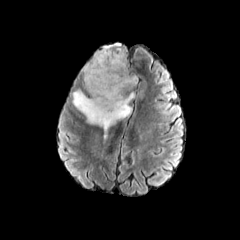
FLAIR magnetic resonance.
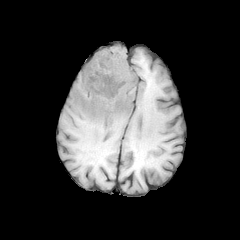
T1-weighted MR of the same slice.
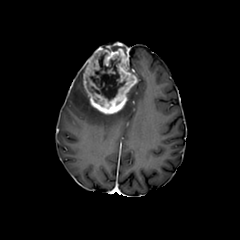
Post-contrast T1-weighted MR image.
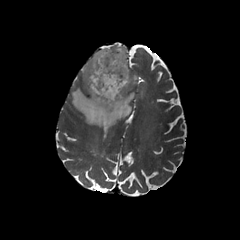
T2-weighted magnetic resonance of the same slice.
Axial plane
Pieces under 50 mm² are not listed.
enhancing tumor: bounding box (83, 42, 137, 114)
necrotic tumor core: bounding box (94, 95, 105, 105), (85, 53, 132, 100)
peritumoral edema: bounding box (71, 88, 134, 141)